Head
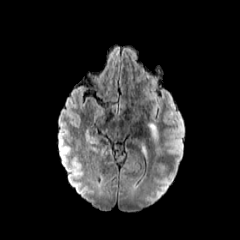
FLAIR MRI.
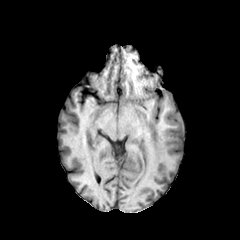
T1-weighted MR image.
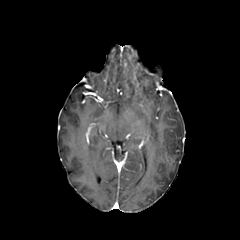
Post-contrast T1-weighted MR.
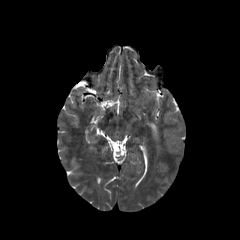
Same slice, T2-weighted MR.
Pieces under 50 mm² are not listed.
<segmentation>
  <peritumoral_edema>rect(148, 122, 158, 140)</peritumoral_edema>
</segmentation>